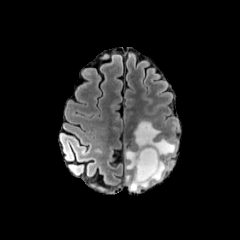
FLAIR magnetic resonance.
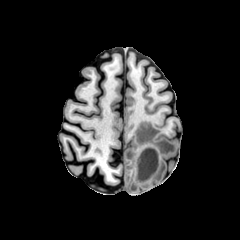
T1-weighted MRI.
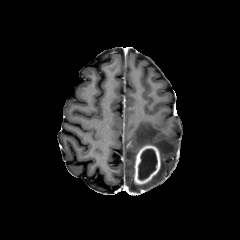
Post-contrast T1-weighted magnetic resonance.
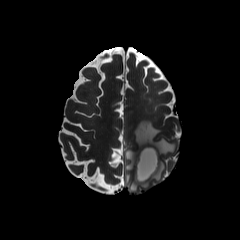
Same slice, T2-weighted MRI.
Brain. Axial plane.
peritumoral edema = (125, 121, 176, 192)
enhancing tumor = (134, 144, 161, 185)
necrotic tumor core = (138, 149, 157, 180)